FLAIR magnetic resonance.
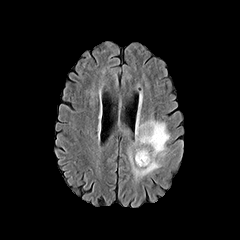
T1-weighted MR image.
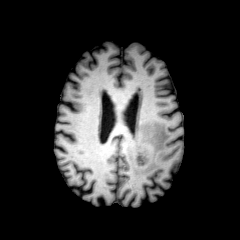
Post-contrast T1-weighted MR image.
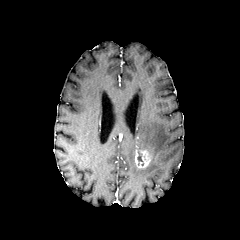
T2-weighted MR image.
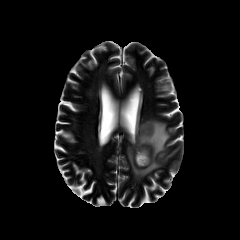
240x240
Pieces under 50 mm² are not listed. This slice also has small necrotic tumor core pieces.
peritumoral edema — <bbox>126, 117, 170, 181</bbox>
enhancing tumor — <bbox>135, 149, 151, 168</bbox>